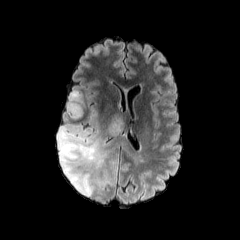
FLAIR magnetic resonance.
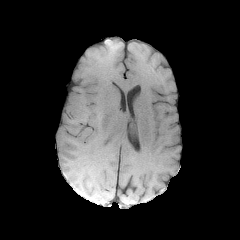
T1-weighted MR.
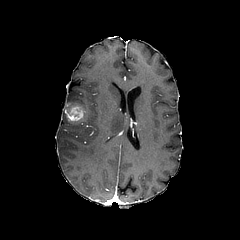
Same slice, post-contrast T1-weighted magnetic resonance.
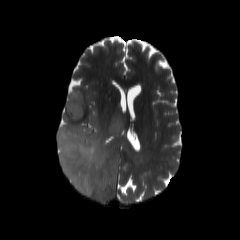
T2-weighted MRI.
Head | Axial slice
Findings:
• enhancing tumor: x1=65 y1=103 x2=84 y2=121
• peritumoral edema: x1=57 y1=90 x2=116 y2=198, x1=108 y1=114 x2=124 y2=135